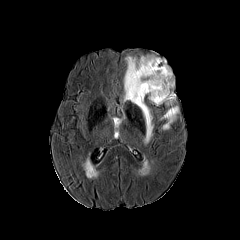
FLAIR MRI.
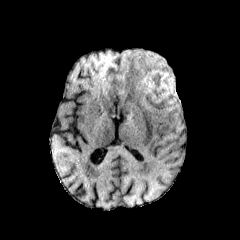
T1-weighted MR image of the same slice.
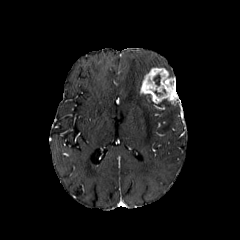
Post-contrast T1-weighted MR.
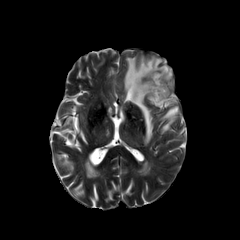
T2-weighted magnetic resonance of the same slice.
Axial slice
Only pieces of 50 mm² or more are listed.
Segmented structures:
* enhancing tumor: (x1=140, y1=67, x2=177, y2=104)
* peritumoral edema: (x1=161, y1=106, x2=178, y2=130), (x1=124, y1=55, x2=172, y2=144)
* necrotic tumor core: (x1=154, y1=74, x2=160, y2=85)